FLAIR MRI.
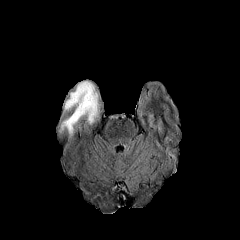
T1-weighted MR image.
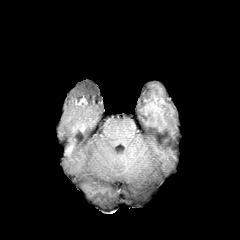
Post-contrast T1-weighted MRI.
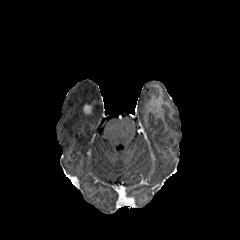
T2-weighted MR image.
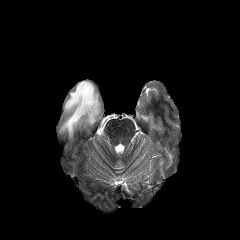
Brain
Annotated regions:
• enhancing tumor: (x1=83, y1=104, x2=91, y2=114)
• peritumoral edema: (x1=60, y1=81, x2=100, y2=136)